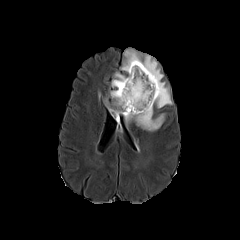
FLAIR MR image.
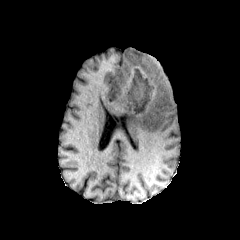
Same slice, T1-weighted MR image.
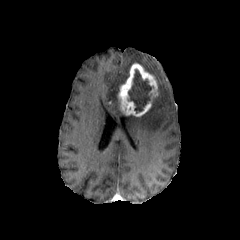
Same slice, post-contrast T1-weighted magnetic resonance.
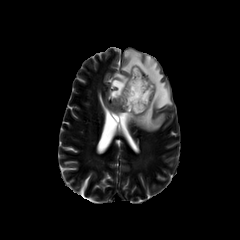
T2-weighted MRI.
Brain | 240x240
enhancing tumor — box(117, 63, 158, 116)
necrotic tumor core — box(128, 69, 152, 112)
peritumoral edema — box(105, 49, 172, 131)